Brain
FLAIR MRI.
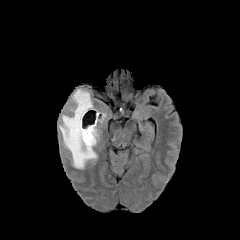
T1-weighted MRI.
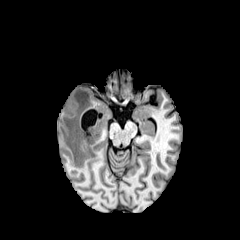
Post-contrast T1-weighted magnetic resonance.
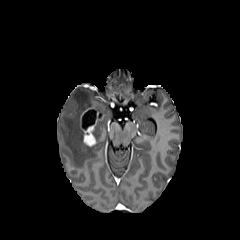
T2-weighted MRI.
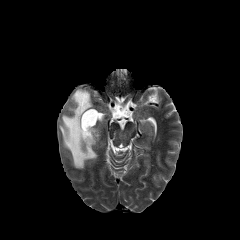
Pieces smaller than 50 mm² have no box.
peritumoral edema: 93 126 99 143, 59 89 97 168 | enhancing tumor: 83 111 98 146